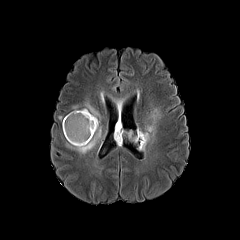
FLAIR magnetic resonance.
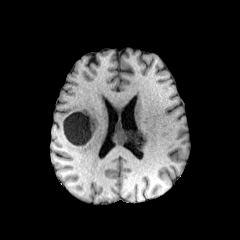
Same slice, T1-weighted MRI.
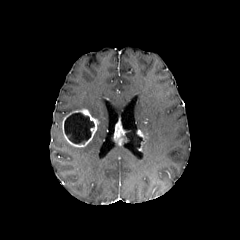
Post-contrast T1-weighted magnetic resonance.
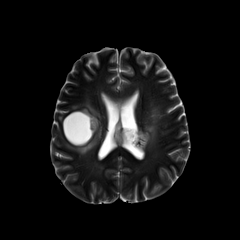
Same slice, T2-weighted MR image.
Head, Axial slice, 240x240 px
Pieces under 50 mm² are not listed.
3 enhancing tumor regions are bounded by (62,109,99,147), (137,130,147,150), (114,122,126,144). The 2 largest peritumoral edema regions appear at (66,102,102,153), (142,109,160,150). The 2 largest necrotic tumor core regions appear at (64,112,94,143), (135,134,143,148).